Slice 104/155. Axial plane.
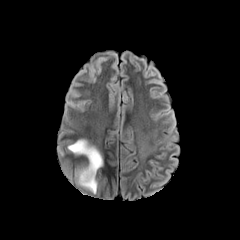
FLAIR MRI.
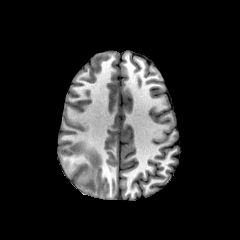
T1-weighted MR of the same slice.
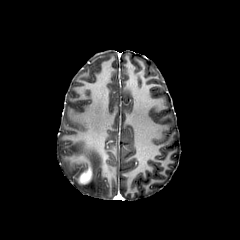
Post-contrast T1-weighted magnetic resonance.
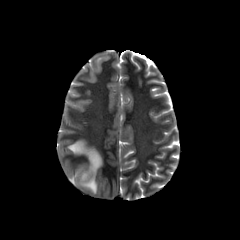
T2-weighted magnetic resonance.
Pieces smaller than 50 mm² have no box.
<segmentation>
  <enhancing_tumor>79:166:92:183</enhancing_tumor>
  <peritumoral_edema>68:139:102:193</peritumoral_edema>
</segmentation>